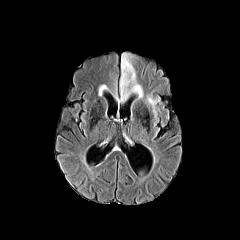
FLAIR MR image.
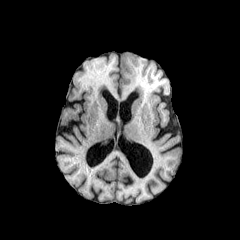
T1-weighted MR image.
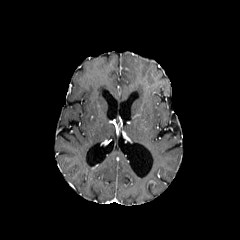
Post-contrast T1-weighted MR.
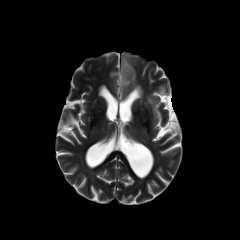
T2-weighted MR image.
Axial view | Brain
peritumoral_edema:
  - {"x1": 147, "y1": 96, "x2": 159, "y2": 115}
  - {"x1": 120, "y1": 53, "x2": 143, "y2": 100}